FLAIR MR image.
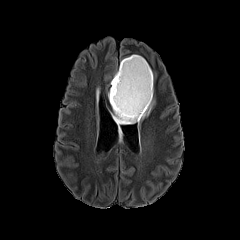
T1-weighted MR.
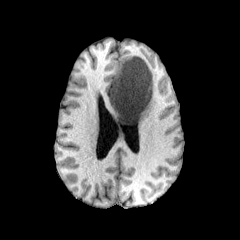
Post-contrast T1-weighted MR image.
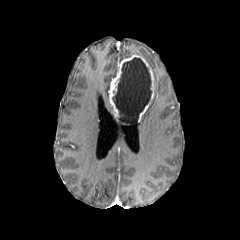
T2-weighted magnetic resonance.
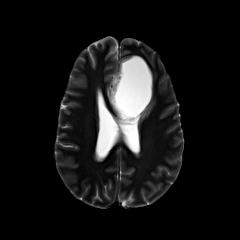
Image size 240x240
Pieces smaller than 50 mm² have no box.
enhancing tumor: rect(109, 55, 153, 121) | necrotic tumor core: rect(112, 57, 151, 123) | peritumoral edema: rect(136, 98, 154, 127); rect(111, 112, 132, 136)